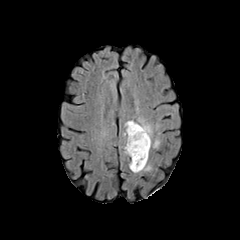
FLAIR MRI.
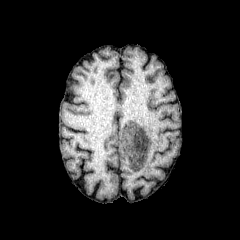
Same slice, T1-weighted MR image.
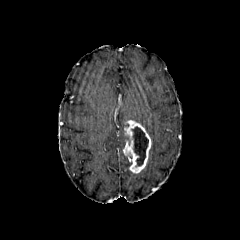
Post-contrast T1-weighted magnetic resonance of the same slice.
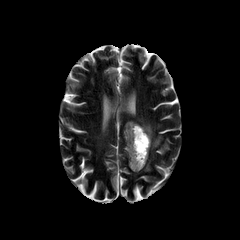
T2-weighted MRI of the same slice.
Axial slice. 240x240 px.
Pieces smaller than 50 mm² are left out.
<segmentation>
  <peritumoral_edema>(left=142, top=162, right=151, bottom=171), (left=137, top=118, right=159, bottom=148)</peritumoral_edema>
  <necrotic_tumor_core>(left=132, top=127, right=148, bottom=165)</necrotic_tumor_core>
  <enhancing_tumor>(left=123, top=120, right=151, bottom=173)</enhancing_tumor>
</segmentation>